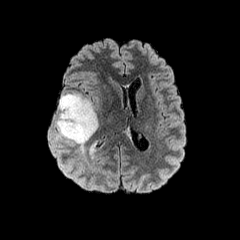
FLAIR magnetic resonance.
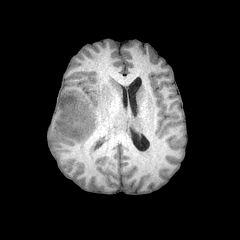
T1-weighted MR.
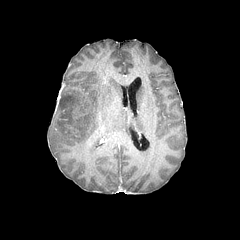
Post-contrast T1-weighted MRI.
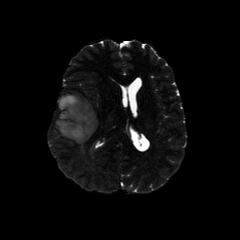
T2-weighted MRI.
Axial view | Head
The peritumoral edema is bounded by bbox(55, 93, 98, 150). The enhancing tumor lies within bbox(66, 125, 79, 136).